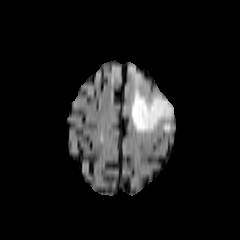
FLAIR magnetic resonance.
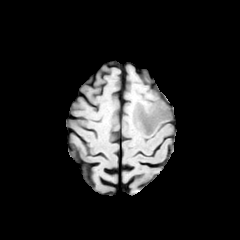
T1-weighted MR.
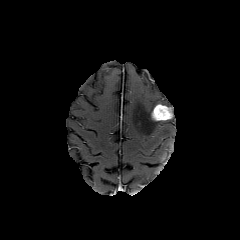
Post-contrast T1-weighted magnetic resonance.
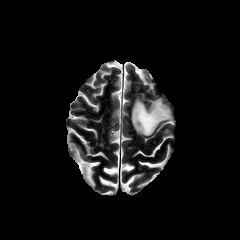
T2-weighted MR image.
Brain; Axial slice
{
  "enhancing_tumor": [
    "(151, 101, 173, 121)"
  ],
  "peritumoral_edema": [
    "(131, 90, 170, 134)"
  ]
}